Image size 240x240, Slice index 128
FLAIR MR image.
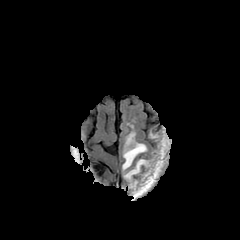
T1-weighted MRI.
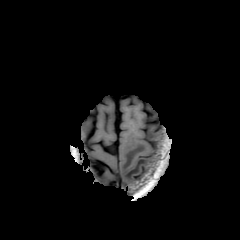
Post-contrast T1-weighted MR image.
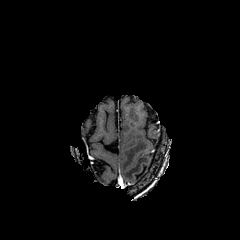
T2-weighted MR.
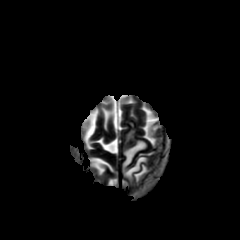
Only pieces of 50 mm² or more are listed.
Annotated regions:
* peritumoral edema: [x1=122, y1=131, x2=149, y2=187]